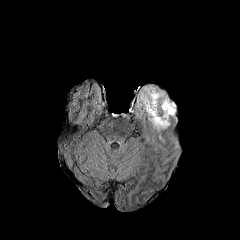
FLAIR magnetic resonance.
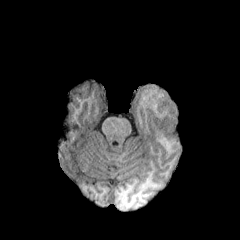
T1-weighted MR.
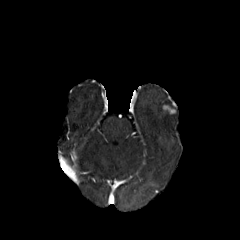
Post-contrast T1-weighted MR image of the same slice.
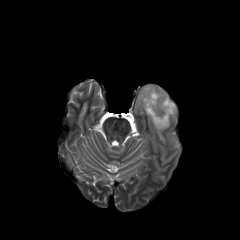
T2-weighted MRI.
Axial plane | Brain
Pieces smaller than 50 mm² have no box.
• peritumoral edema: l=137, t=86, r=176, b=131
• enhancing tumor: l=162, t=104, r=175, b=114